Slice 41 of 155; 240x240
FLAIR magnetic resonance.
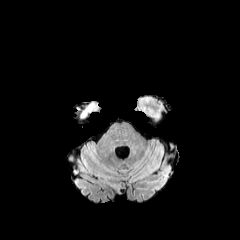
T1-weighted MRI.
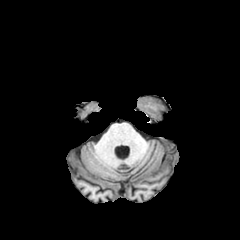
Post-contrast T1-weighted MR.
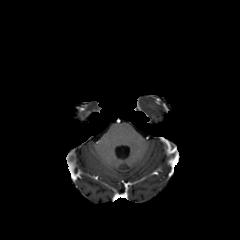
T2-weighted MR.
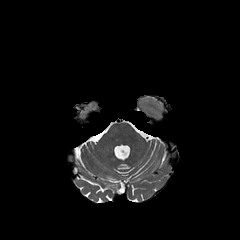
The peritumoral edema is at (x1=140, y1=97, x2=153, y2=113).